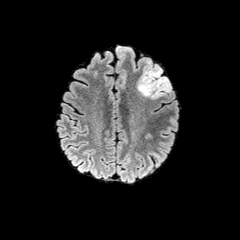
FLAIR MR.
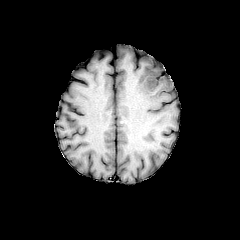
Same slice, T1-weighted MR image.
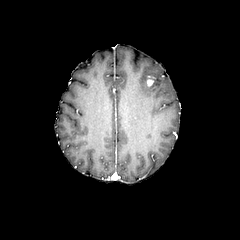
Post-contrast T1-weighted MRI.
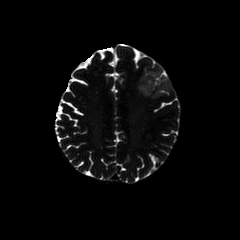
T2-weighted MRI.
Head | 240x240 px | Axial view
peritumoral edema: rect(137, 64, 170, 99) | enhancing tumor: rect(146, 76, 153, 87)